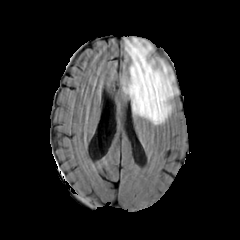
FLAIR MRI.
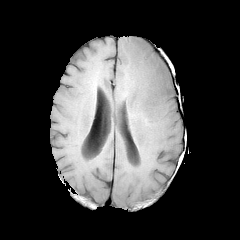
Same slice, T1-weighted MR image.
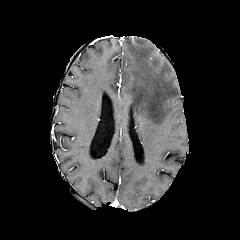
Post-contrast T1-weighted MRI.
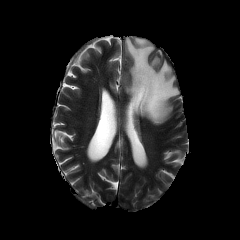
T2-weighted magnetic resonance.
Axial plane. Image size 240x240.
The peritumoral edema is bounded by box(123, 38, 176, 124).